FLAIR MR image.
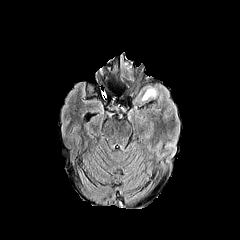
T1-weighted MRI.
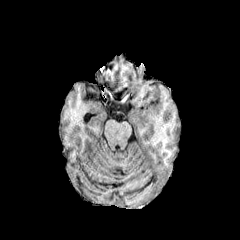
Post-contrast T1-weighted MRI.
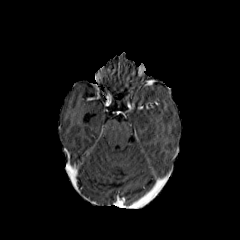
T2-weighted MR.
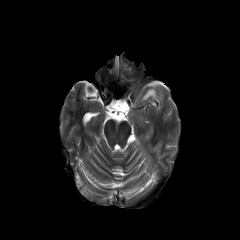
Image size 240x240
peritumoral edema: [141,88,157,101]